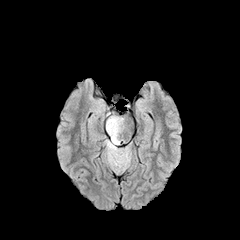
FLAIR MR image.
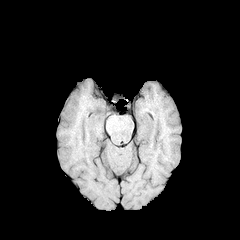
T1-weighted magnetic resonance.
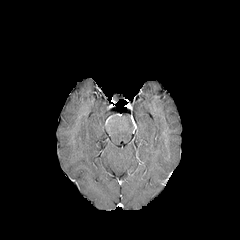
Post-contrast T1-weighted MRI of the same slice.
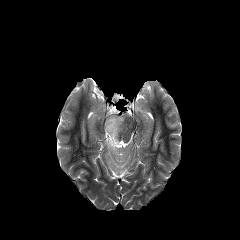
T2-weighted MRI of the same slice.
Axial view. Image size 240x240. Brain.
peritumoral edema — rect(104, 116, 130, 171)